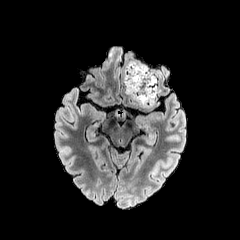
FLAIR MRI.
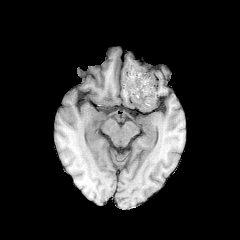
T1-weighted magnetic resonance of the same slice.
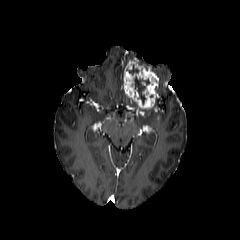
Post-contrast T1-weighted MR image.
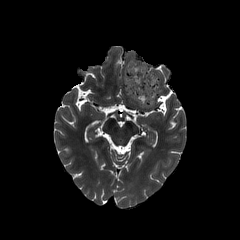
T2-weighted MR.
Head
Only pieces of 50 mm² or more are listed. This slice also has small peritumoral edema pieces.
enhancing tumor = 123,60,158,108
necrotic tumor core = 126,64,138,74; 134,76,149,102